FLAIR MR image.
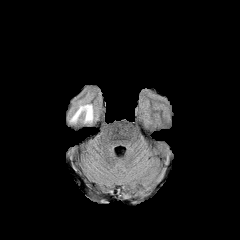
T1-weighted MR image.
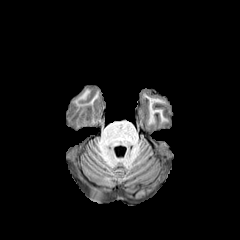
Post-contrast T1-weighted MR.
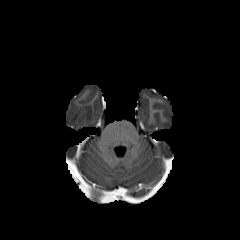
T2-weighted MR.
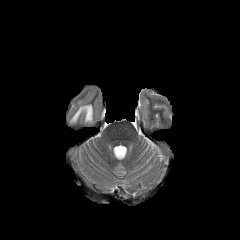
Brain, Image size 240x240, Axial slice
The peritumoral edema is located at 70, 104, 92, 122.